FLAIR MR.
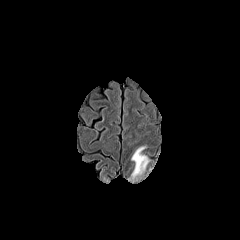
T1-weighted magnetic resonance.
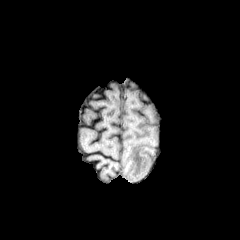
Post-contrast T1-weighted MR image.
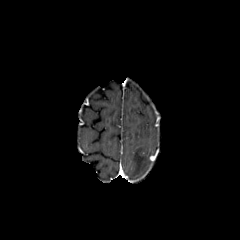
T2-weighted MRI.
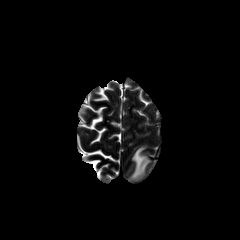
<segmentation>
  <peritumoral_edema>131,146,148,178</peritumoral_edema>
</segmentation>